Brain, Slice 55 of 155, Image width 240 mm, 1.00 mm slice spacing
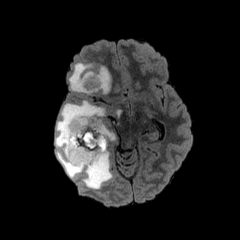
FLAIR MR image.
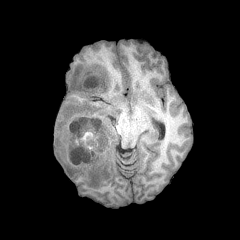
T1-weighted MR of the same slice.
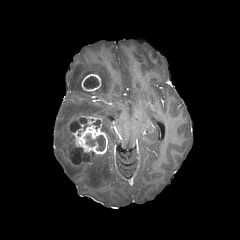
Post-contrast T1-weighted MR image.
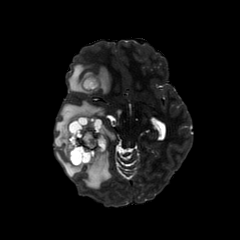
T2-weighted MR.
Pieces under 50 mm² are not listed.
<segmentation>
  <peritumoral_edema>left=68, top=63, right=111, bottom=93; left=55, top=100, right=112, bottom=189; left=102, top=122, right=115, bottom=141</peritumoral_edema>
  <necrotic_tumor_core>left=85, top=134, right=105, bottom=150; left=70, top=118, right=89, bottom=132; left=84, top=76, right=98, bottom=88; left=70, top=147, right=95, bottom=164</necrotic_tumor_core>
  <enhancing_tumor>left=68, top=115, right=107, bottom=165; left=81, top=74, right=101, bottom=91</enhancing_tumor>
</segmentation>